Brain. Axial view. Slice 120/155. 240x240.
FLAIR MR image.
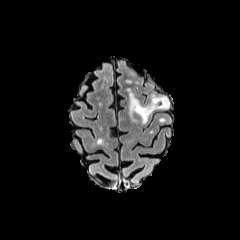
T1-weighted MR image.
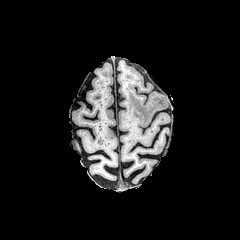
Post-contrast T1-weighted MR.
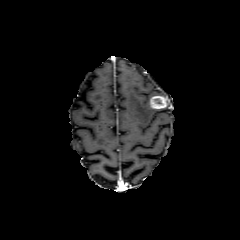
T2-weighted MRI.
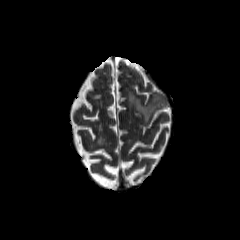
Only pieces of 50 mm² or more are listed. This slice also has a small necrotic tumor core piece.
The enhancing tumor is located at (149,96,168,109). The largest peritumoral edema region is at (129,91,156,123).